Head | 240x240
FLAIR MRI.
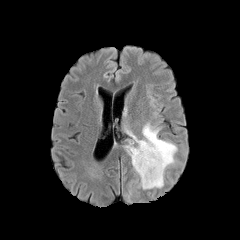
T1-weighted magnetic resonance.
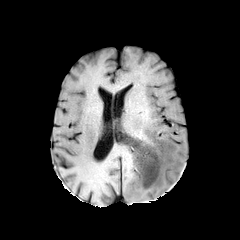
Post-contrast T1-weighted magnetic resonance.
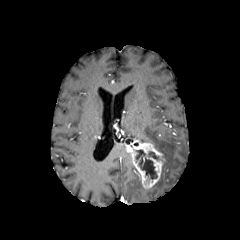
T2-weighted MRI.
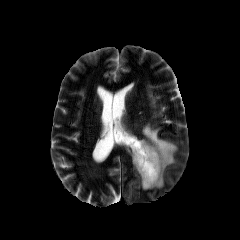
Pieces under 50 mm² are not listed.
{
  "enhancing_tumor": [
    "125 139 164 188"
  ],
  "necrotic_tumor_core": [
    "136 150 157 179",
    "148 152 158 159"
  ],
  "peritumoral_edema": [
    "122 126 137 138",
    "140 123 177 188"
  ]
}